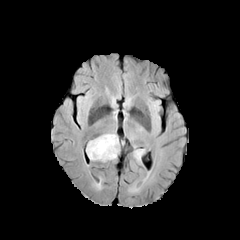
FLAIR MR image.
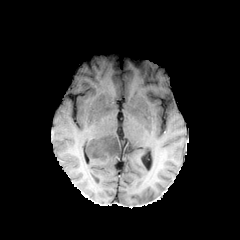
T1-weighted MR image.
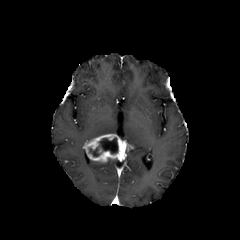
Post-contrast T1-weighted MR image.
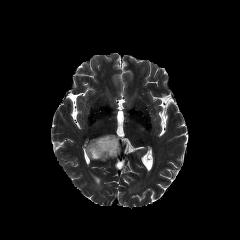
T2-weighted MR of the same slice.
240x240. Axial view. Head.
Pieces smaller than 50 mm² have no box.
- necrotic tumor core: x1=89, y1=147, x2=99, y2=156; x1=99, y1=138, x2=117, y2=153
- enhancing tumor: x1=85, y1=134, x2=132, y2=162
- peritumoral edema: x1=133, y1=149, x2=144, y2=160